FLAIR MR.
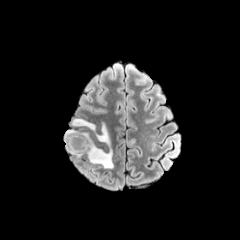
T1-weighted magnetic resonance.
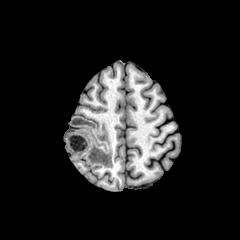
Post-contrast T1-weighted MR.
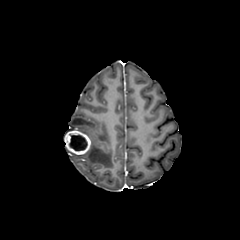
T2-weighted MR.
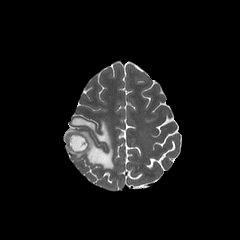
Head
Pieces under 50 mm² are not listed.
peritumoral edema: 65,117,113,168 | enhancing tumor: 64,130,90,154 | necrotic tumor core: 69,134,87,150